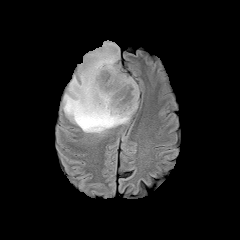
FLAIR MR image.
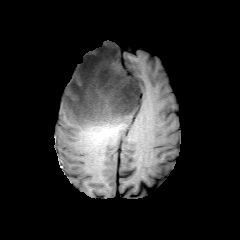
T1-weighted magnetic resonance of the same slice.
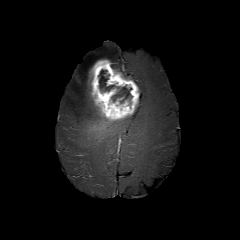
Post-contrast T1-weighted MR of the same slice.
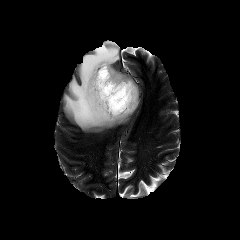
T2-weighted MR.
240x240 px. Brain.
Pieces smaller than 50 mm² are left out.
enhancing tumor — left=88, top=59, right=139, bottom=121
necrotic tumor core — left=112, top=87, right=131, bottom=102; left=99, top=70, right=114, bottom=91
peritumoral edema — left=63, top=42, right=130, bottom=132